Axial slice, Slice 94/155, Image size 240x240
FLAIR magnetic resonance.
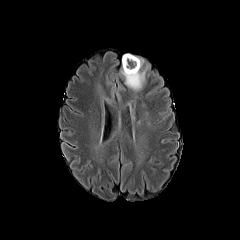
T1-weighted magnetic resonance.
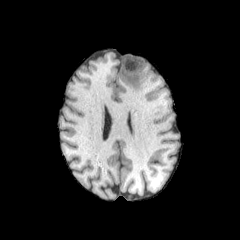
Post-contrast T1-weighted MR image.
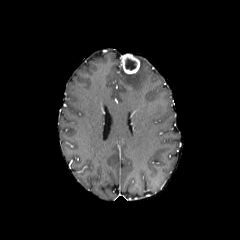
T2-weighted MRI.
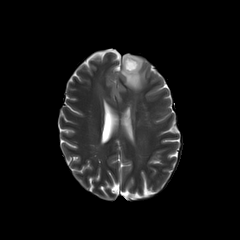
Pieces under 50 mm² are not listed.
Segmented structures:
• necrotic tumor core: l=125, t=58, r=136, b=70
• enhancing tumor: l=122, t=54, r=139, b=73
• peritumoral edema: l=120, t=67, r=147, b=91